240x240 px
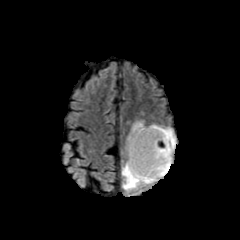
FLAIR magnetic resonance.
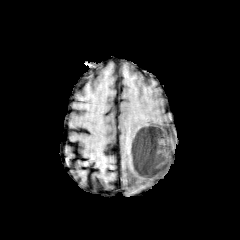
T1-weighted MR image.
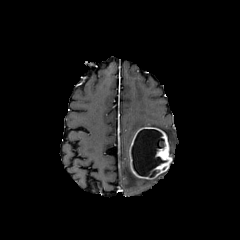
Same slice, post-contrast T1-weighted MR.
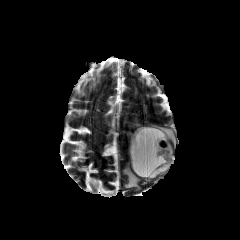
T2-weighted MRI of the same slice.
enhancing tumor — x1=129 y1=127 x2=172 y2=179
necrotic tumor core — x1=131 y1=129 x2=166 y2=177
peritumoral edema — x1=127 y1=121 x2=176 y2=157, x1=122 y1=160 x2=168 y2=190